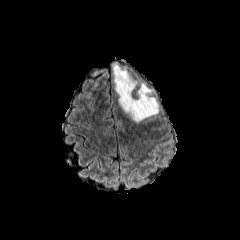
FLAIR magnetic resonance.
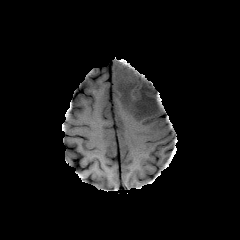
T1-weighted magnetic resonance.
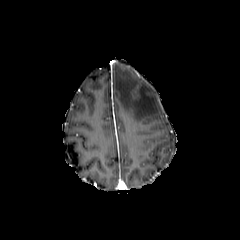
Post-contrast T1-weighted MRI.
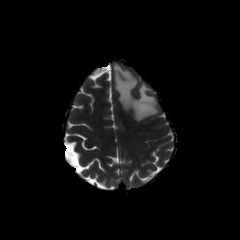
Same slice, T2-weighted MR.
Axial slice; Head
Segmented structures:
* peritumoral edema: <box>113,63,158,122</box>